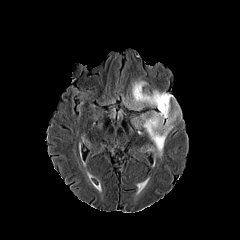
FLAIR MR.
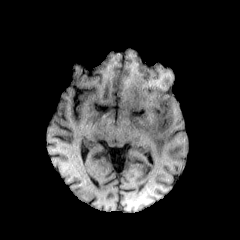
Same slice, T1-weighted MR.
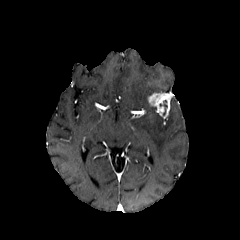
Post-contrast T1-weighted MR image.
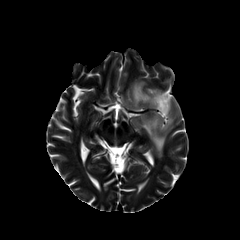
Same slice, T2-weighted magnetic resonance.
Axial slice.
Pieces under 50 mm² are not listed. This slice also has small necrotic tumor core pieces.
Segmented structures:
• enhancing tumor: <box>147,92,172,118</box>
• peritumoral edema: <box>142,102,180,157</box>, <box>131,80,149,109</box>